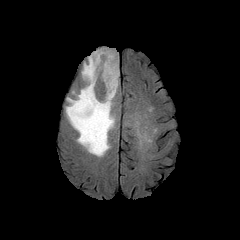
FLAIR MR.
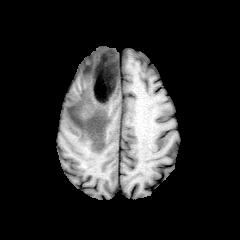
T1-weighted MR image.
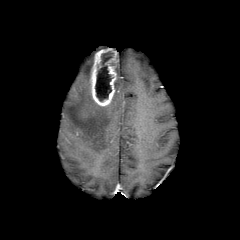
Same slice, post-contrast T1-weighted magnetic resonance.
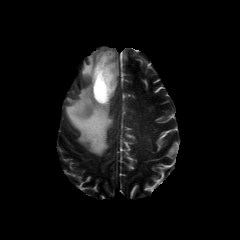
Same slice, T2-weighted magnetic resonance.
Head | 240x240
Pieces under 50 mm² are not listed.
{
  "enhancing_tumor": [
    "bbox(90, 48, 118, 106)"
  ],
  "peritumoral_edema": [
    "bbox(65, 50, 119, 156)"
  ],
  "necrotic_tumor_core": [
    "bbox(95, 51, 113, 101)"
  ]
}